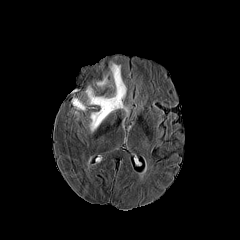
FLAIR MRI.
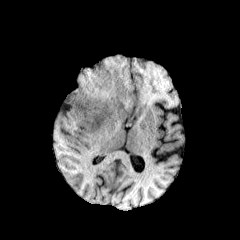
Same slice, T1-weighted MRI.
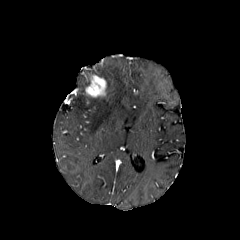
Post-contrast T1-weighted MRI.
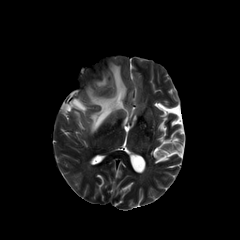
Same slice, T2-weighted MRI.
Axial slice. Head.
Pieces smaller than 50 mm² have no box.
The enhancing tumor appears at [85,76,106,97]. The 2 largest peritumoral edema regions appear at [72,98,86,110], [87,63,128,132].